Image size 240x240; Image width 240 mm; Brain; Axial view
FLAIR MR.
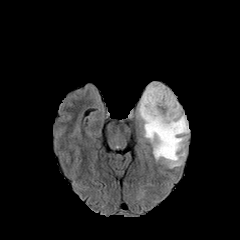
T1-weighted MR image.
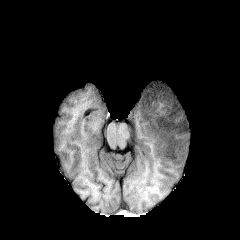
Post-contrast T1-weighted magnetic resonance.
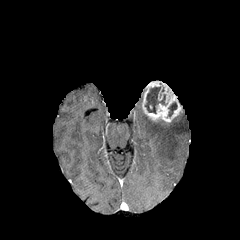
T2-weighted magnetic resonance.
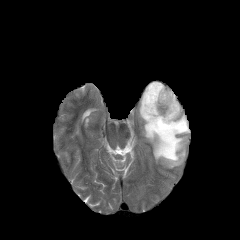
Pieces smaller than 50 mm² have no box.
peritumoral_edema:
  - left=138, top=96, right=189, bottom=168
enhancing_tumor:
  - left=141, top=81, right=182, bottom=124
necrotic_tumor_core:
  - left=145, top=87, right=165, bottom=113
  - left=168, top=102, right=177, bottom=116